FLAIR magnetic resonance.
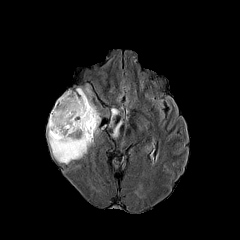
T1-weighted MRI.
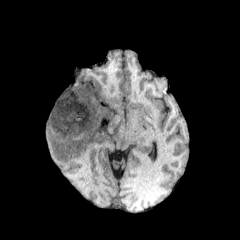
Post-contrast T1-weighted MRI.
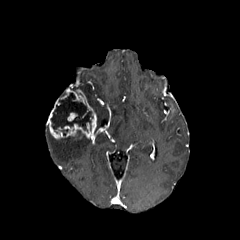
T2-weighted MRI.
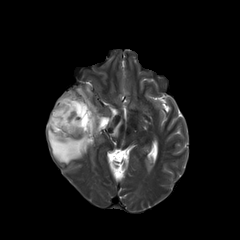
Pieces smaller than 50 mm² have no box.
peritumoral edema — x1=112, y1=120, x2=122, y2=136; x1=47, y1=125, x2=92, y2=163; x1=111, y1=108, x2=118, y2=123; x1=73, y1=85, x2=100, y2=127
enhancing tumor — x1=47, y1=88, x2=96, y2=141; x1=67, y1=112, x2=77, y2=121
necrotic tumor core — x1=51, y1=93, x2=91, y2=130